Axial plane; Head
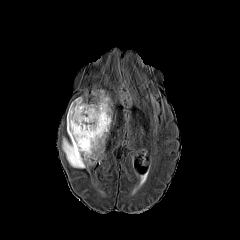
FLAIR MR.
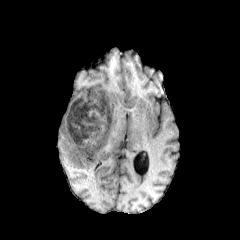
T1-weighted MRI of the same slice.
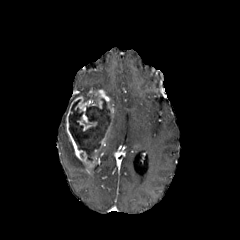
Post-contrast T1-weighted magnetic resonance.
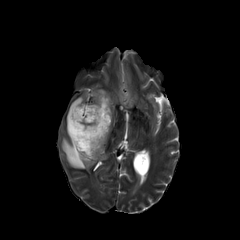
Same slice, T2-weighted magnetic resonance.
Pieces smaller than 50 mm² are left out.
peritumoral_edema:
  - (left=62, top=137, right=86, bottom=168)
enhancing_tumor:
  - (left=66, top=89, right=113, bottom=171)
necrotic_tumor_core:
  - (left=69, top=99, right=110, bottom=161)